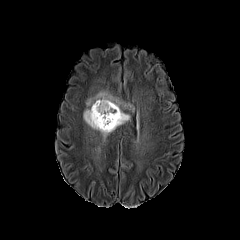
FLAIR MR image.
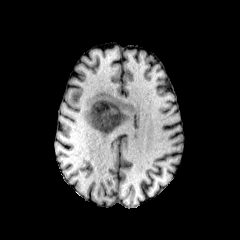
Same slice, T1-weighted MR image.
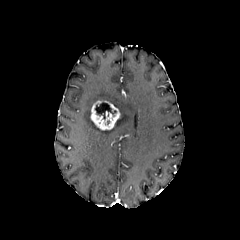
Post-contrast T1-weighted magnetic resonance.
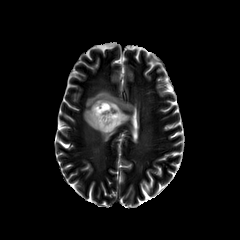
Same slice, T2-weighted MR.
Brain
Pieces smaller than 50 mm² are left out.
<segmentation>
  <enhancing_tumor>[90,100,120,130]</enhancing_tumor>
  <necrotic_tumor_core>[95,102,116,119]</necrotic_tumor_core>
  <peritumoral_edema>[83,91,132,137]</peritumoral_edema>
</segmentation>